Image size 240x240.
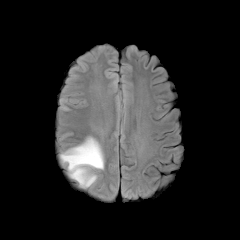
FLAIR magnetic resonance.
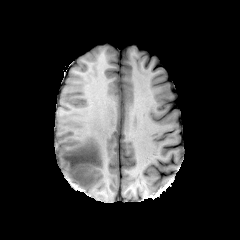
T1-weighted MR image of the same slice.
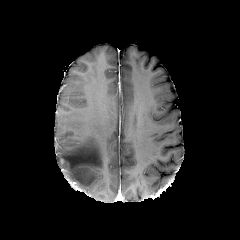
Post-contrast T1-weighted MR of the same slice.
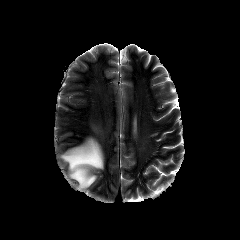
T2-weighted MR image of the same slice.
peritumoral_edema:
  - 60 137 104 188